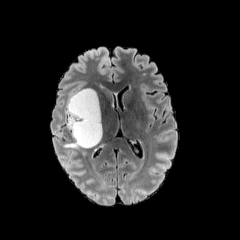
FLAIR MR.
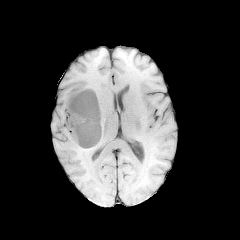
T1-weighted MRI.
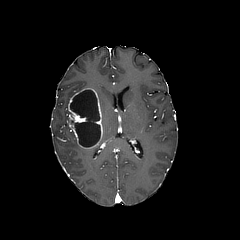
Same slice, post-contrast T1-weighted MR image.
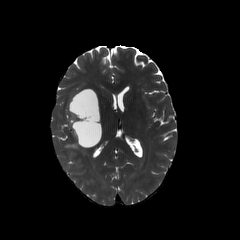
T2-weighted MRI of the same slice.
Axial plane
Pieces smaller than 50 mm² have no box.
The largest necrotic tumor core region is bounded by bbox=[70, 90, 100, 147]. The 2 largest peritumoral edema regions are bounded by bbox=[66, 87, 80, 114]; bbox=[64, 131, 80, 148]. The enhancing tumor appears at bbox=[68, 88, 102, 148].